Slice 107 of 155
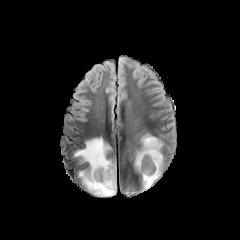
FLAIR MRI.
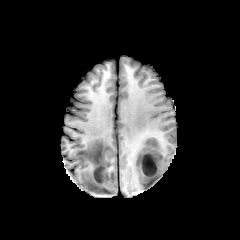
T1-weighted MR image.
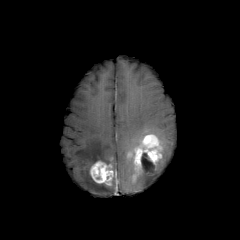
Same slice, post-contrast T1-weighted MR.
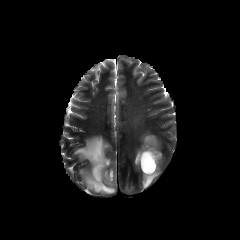
T2-weighted MR.
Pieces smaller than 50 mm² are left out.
The necrotic tumor core is at [141, 153, 155, 172]. The 2 largest enhancing tumor regions appear at [134, 134, 162, 175], [90, 161, 113, 185]. The 2 largest peritumoral edema regions are located at [134, 156, 163, 189], [74, 137, 116, 196].